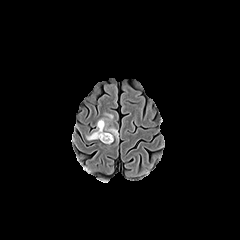
FLAIR MRI.
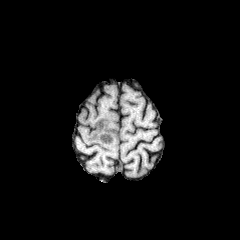
Same slice, T1-weighted MR.
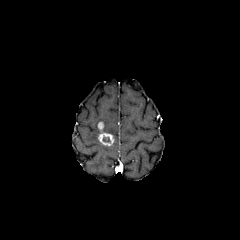
Post-contrast T1-weighted MR image.
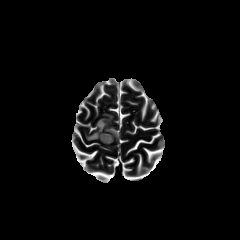
Same slice, T2-weighted MRI.
Axial view
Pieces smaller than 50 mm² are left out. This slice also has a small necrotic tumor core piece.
peritumoral edema: bounding box box=[86, 113, 118, 140]
enhancing tumor: bounding box box=[98, 121, 114, 145]